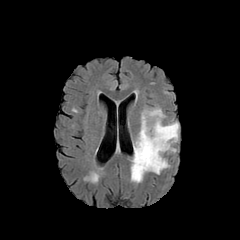
FLAIR MR.
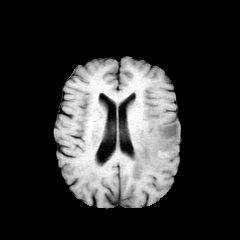
Same slice, T1-weighted MR.
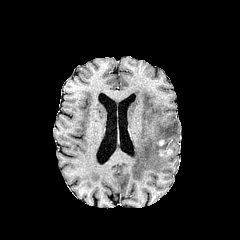
Post-contrast T1-weighted MR.
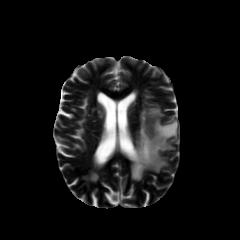
Same slice, T2-weighted magnetic resonance.
240x240 | Axial slice
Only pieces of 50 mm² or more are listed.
The largest enhancing tumor region appears at box=[156, 139, 165, 146]. The peritumoral edema lies within box=[131, 108, 179, 182].